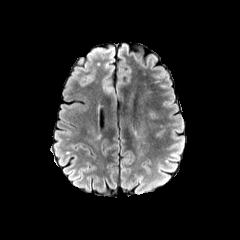
FLAIR MR image.
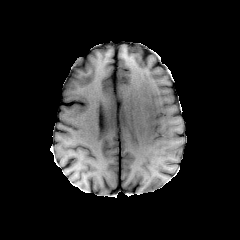
T1-weighted magnetic resonance.
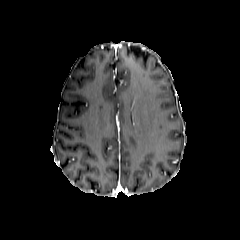
Post-contrast T1-weighted magnetic resonance.
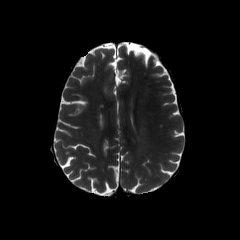
T2-weighted magnetic resonance.
Head | Axial slice
The peritumoral edema is bounded by bbox(148, 111, 157, 118).